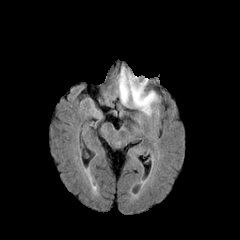
FLAIR MR image.
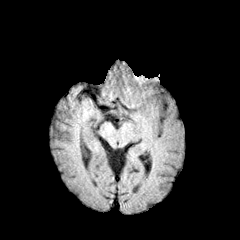
T1-weighted magnetic resonance of the same slice.
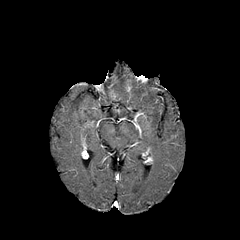
Same slice, post-contrast T1-weighted magnetic resonance.
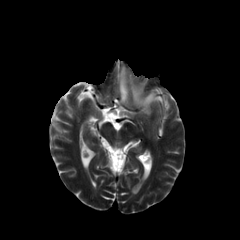
T2-weighted MRI.
Brain.
peritumoral_edema:
  - (x1=119, y1=68, x2=157, y2=115)